FLAIR MR image.
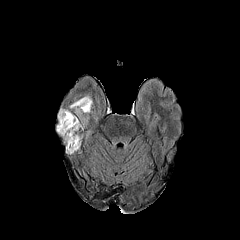
T1-weighted MR.
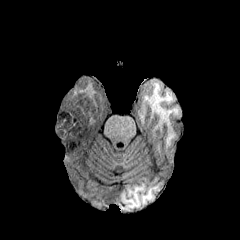
Post-contrast T1-weighted magnetic resonance.
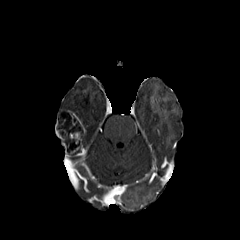
T2-weighted MR.
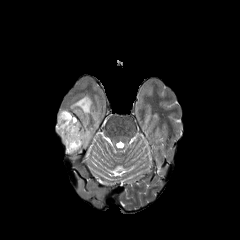
Head.
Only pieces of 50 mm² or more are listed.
necrotic tumor core: left=57, top=112, right=83, bottom=153 | peritumoral edema: left=69, top=96, right=92, bottom=127 | enhancing tumor: left=55, top=126, right=67, bottom=153; left=70, top=132, right=81, bottom=143; left=67, top=110, right=82, bottom=125